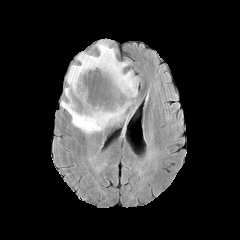
FLAIR magnetic resonance.
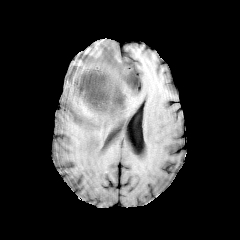
T1-weighted MRI.
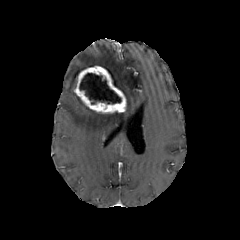
Post-contrast T1-weighted MRI of the same slice.
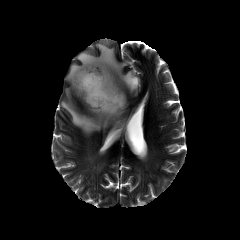
Same slice, T2-weighted MRI.
Axial slice
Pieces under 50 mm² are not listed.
necrotic tumor core: [x1=79, y1=73, x2=120, y2=103] | peritumoral edema: [x1=61, y1=39, x2=139, y2=134] | enhancing tumor: [x1=73, y1=65, x2=126, y2=113]